Brain | Image width 240 mm | Slice index 78
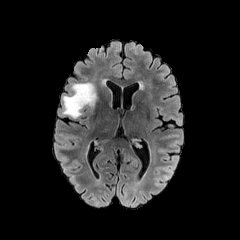
FLAIR MRI.
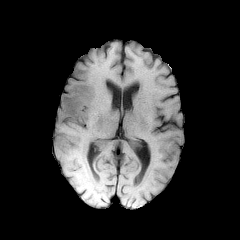
T1-weighted MR of the same slice.
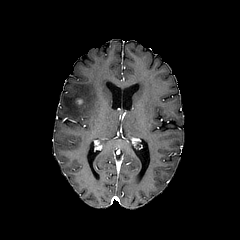
Post-contrast T1-weighted MR image.
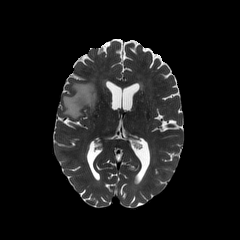
Same slice, T2-weighted MR.
The enhancing tumor is at box(75, 98, 83, 105). The peritumoral edema is bounded by box(62, 82, 96, 118).